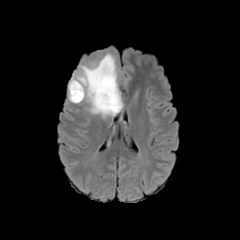
FLAIR MRI.
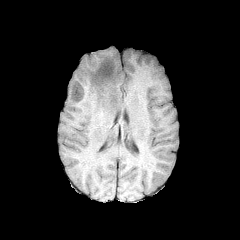
T1-weighted MRI of the same slice.
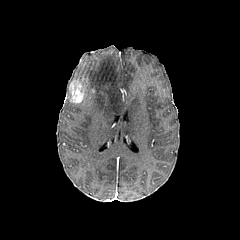
Post-contrast T1-weighted MR image of the same slice.
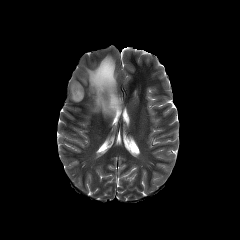
Same slice, T2-weighted magnetic resonance.
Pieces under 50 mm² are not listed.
enhancing tumor = x1=69 y1=80 x2=84 y2=102
peritumoral edema = x1=71 y1=54 x2=122 y2=115